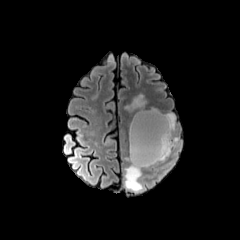
FLAIR MR image.
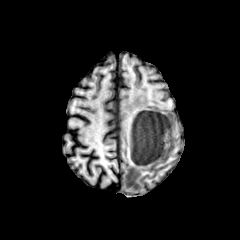
Same slice, T1-weighted MR image.
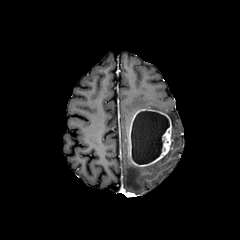
Post-contrast T1-weighted MR image.
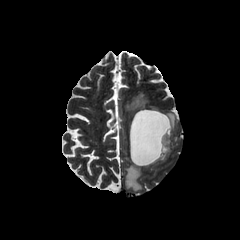
T2-weighted MR.
Head
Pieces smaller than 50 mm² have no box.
The necrotic tumor core is bounded by (131, 111, 169, 164). The enhancing tumor appears at (128, 109, 172, 166). The 3 largest peritumoral edema regions are located at (125, 162, 149, 191), (165, 113, 175, 133), (126, 94, 146, 112).